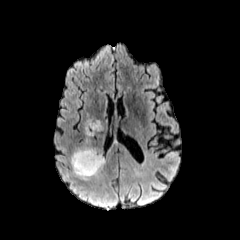
FLAIR MR.
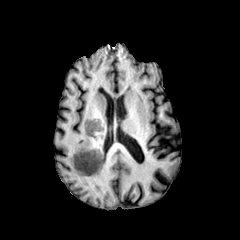
T1-weighted magnetic resonance.
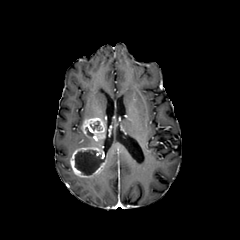
Post-contrast T1-weighted MR of the same slice.
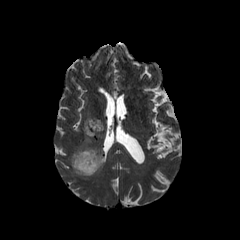
T2-weighted MR image.
240x240 px | Head
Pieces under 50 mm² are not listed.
peritumoral edema at l=78, t=137, r=91, b=147
enhancing tumor at l=82, t=117, r=105, b=140; l=70, t=142, r=106, b=177
necrotic tumor core at l=75, t=149, r=104, b=175; l=90, t=121, r=100, b=130